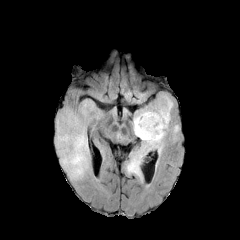
FLAIR MRI.
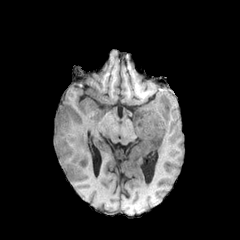
T1-weighted MR.
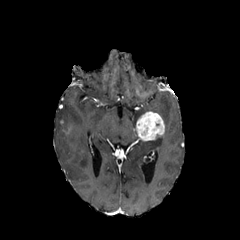
Post-contrast T1-weighted MR image.
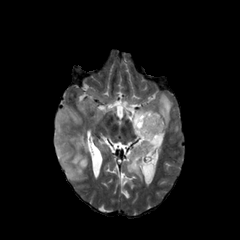
T2-weighted MR image.
Head | Axial view
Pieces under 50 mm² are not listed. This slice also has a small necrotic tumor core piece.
{
  "enhancing_tumor": [
    "(left=134, top=111, right=165, bottom=141)",
    "(left=62, top=124, right=73, bottom=134)"
  ],
  "peritumoral_edema": [
    "(left=123, top=137, right=164, bottom=177)",
    "(left=132, top=94, right=173, bottom=137)",
    "(left=55, top=103, right=89, bottom=179)"
  ]
}